240x240; Slice index 140
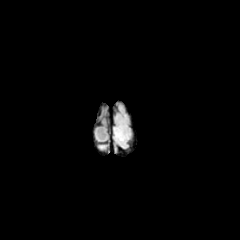
FLAIR MRI.
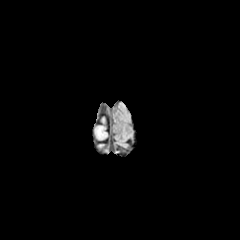
T1-weighted MRI.
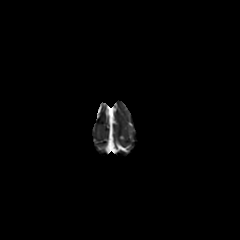
Post-contrast T1-weighted MRI of the same slice.
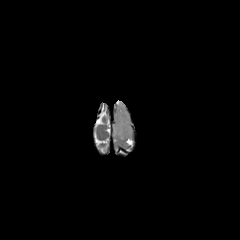
T2-weighted MR.
- peritumoral edema: 114:114:127:143